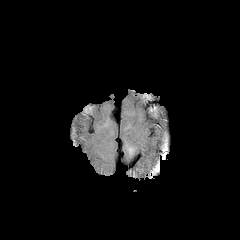
FLAIR MRI.
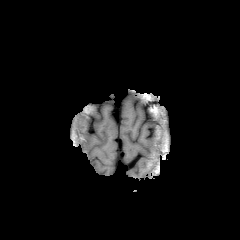
Same slice, T1-weighted MR image.
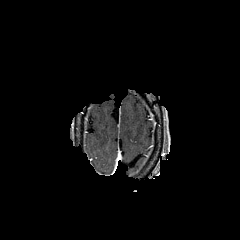
Post-contrast T1-weighted MRI.
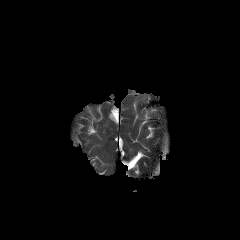
Same slice, T2-weighted MRI.
Image size 240x240; Brain
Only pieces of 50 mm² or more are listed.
peritumoral edema: box=[125, 144, 136, 156]